Axial slice, Slice 81/155, Image width 240 mm
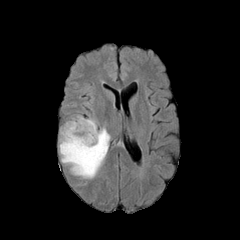
FLAIR MRI.
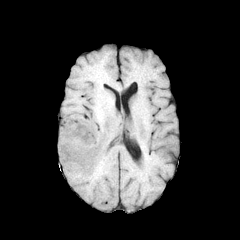
Same slice, T1-weighted MR.
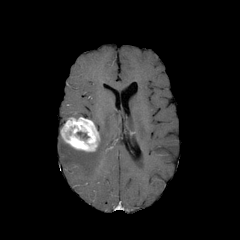
Same slice, post-contrast T1-weighted MR.
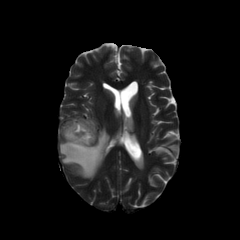
T2-weighted MR image of the same slice.
enhancing_tumor:
  - <bbox>60, 117, 100, 151</bbox>
peritumoral_edema:
  - <bbox>59, 127, 110, 178</bbox>
necrotic_tumor_core:
  - <bbox>77, 132, 88, 138</bbox>